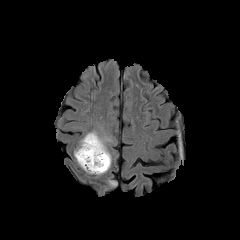
FLAIR MR image.
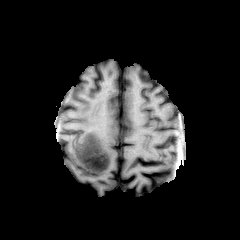
T1-weighted MR.
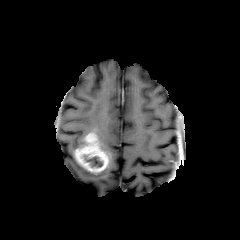
Post-contrast T1-weighted MR of the same slice.
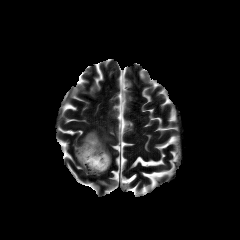
T2-weighted MR.
Image size 240x240. Axial plane.
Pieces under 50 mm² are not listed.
peritumoral_edema:
  - rect(89, 130, 112, 152)
  - rect(95, 155, 111, 175)
enhancing_tumor:
  - rect(74, 132, 110, 173)
necrotic_tumor_core:
  - rect(84, 156, 102, 167)